Slice 104/155
FLAIR MRI.
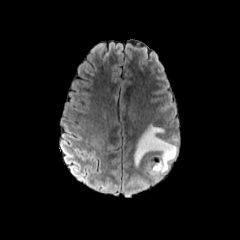
T1-weighted MR image.
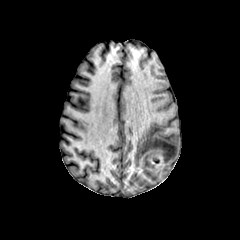
Post-contrast T1-weighted magnetic resonance.
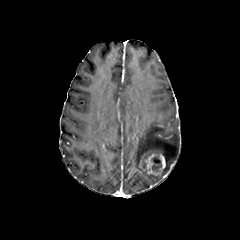
T2-weighted MR.
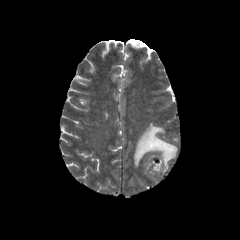
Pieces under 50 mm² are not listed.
The necrotic tumor core lies within bbox(151, 156, 161, 171). The largest peritumoral edema region appears at bbox(134, 125, 177, 181). The enhancing tumor lies within bbox(143, 151, 166, 176).